FLAIR MR image.
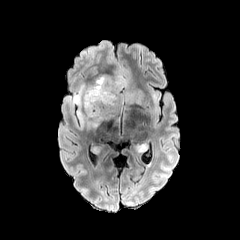
T1-weighted MR image.
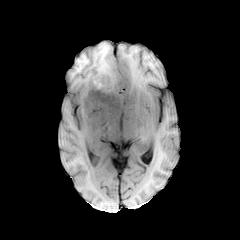
Post-contrast T1-weighted MRI.
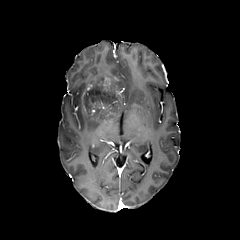
T2-weighted magnetic resonance.
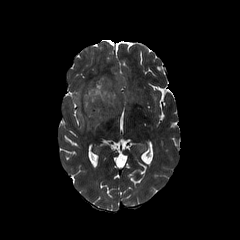
Brain
{
  "peritumoral_edema": [
    "(72,75,142,127)"
  ]
}